Axial plane; Slice index 56; Brain
FLAIR magnetic resonance.
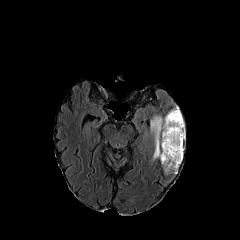
T1-weighted MR image.
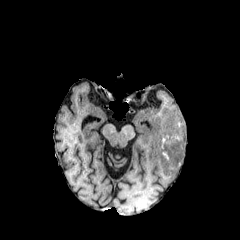
Post-contrast T1-weighted MR.
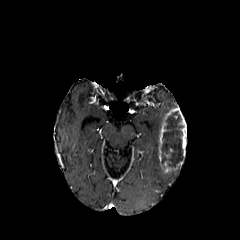
T2-weighted MRI.
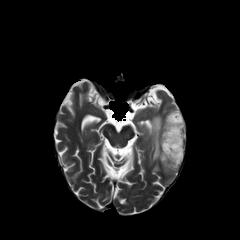
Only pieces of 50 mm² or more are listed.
The largest peritumoral edema region is bounded by [x1=150, y1=115, x2=162, y2=160]. The necrotic tumor core appears at [x1=161, y1=111, x2=183, y2=167]. The largest enhancing tumor region is bounded by [x1=158, y1=107, x2=186, y2=173].